FLAIR MRI.
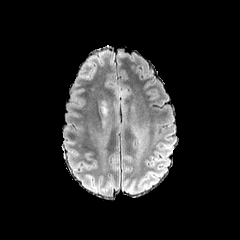
T1-weighted magnetic resonance.
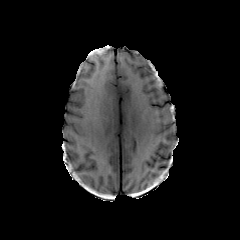
Post-contrast T1-weighted MR.
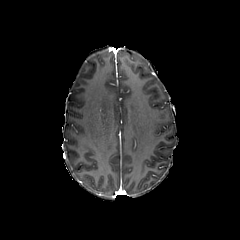
T2-weighted MR.
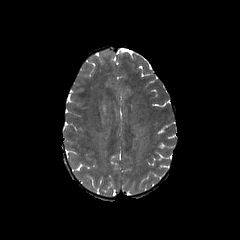
Axial view; Head; 240x240 px
{
  "peritumoral_edema": [
    "bbox=[101, 100, 107, 115]"
  ]
}